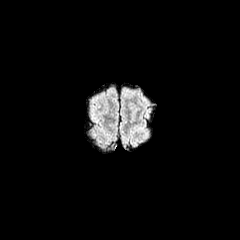
FLAIR magnetic resonance.
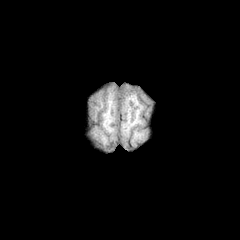
Same slice, T1-weighted MR.
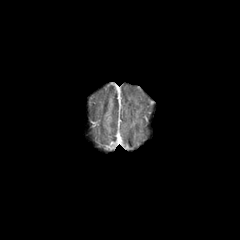
Post-contrast T1-weighted magnetic resonance.
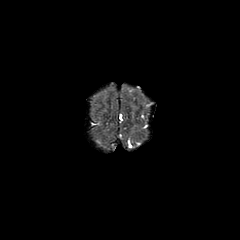
T2-weighted MR image.
240x240 | Brain
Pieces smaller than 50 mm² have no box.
peritumoral_edema:
  - bbox=[93, 97, 101, 108]